FLAIR MR image.
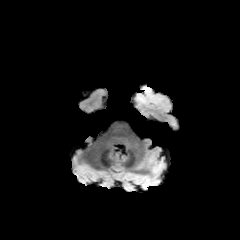
T1-weighted MR image.
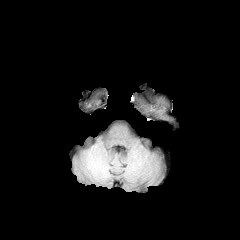
Post-contrast T1-weighted MR image.
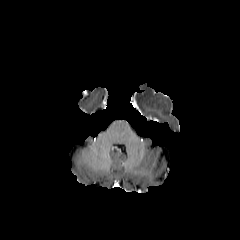
T2-weighted MR image.
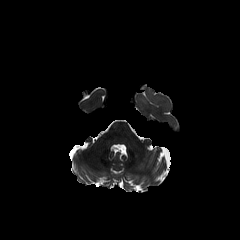
Axial view. 240x240 px. Brain.
peritumoral edema: bounding box box=[133, 85, 159, 103]